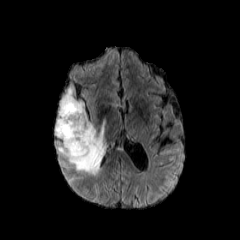
FLAIR MR image.
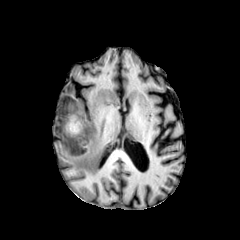
Same slice, T1-weighted MRI.
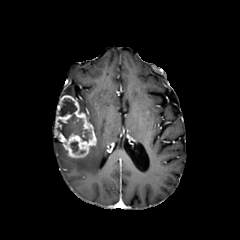
Same slice, post-contrast T1-weighted MR image.
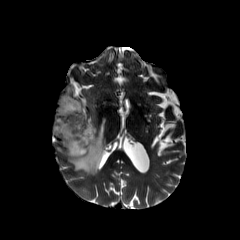
T2-weighted MR image of the same slice.
240x240
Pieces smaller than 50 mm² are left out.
necrotic tumor core: region(70, 142, 78, 152); region(57, 98, 90, 141) | peritumoral edema: region(78, 101, 85, 113); region(65, 86, 73, 96); region(57, 120, 105, 175) | enhancing tumor: region(54, 95, 96, 158)